Slice index 67; Head; Image covers 240 mm x 240 mm; Axial slice
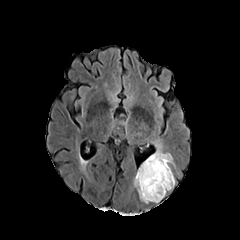
FLAIR MRI.
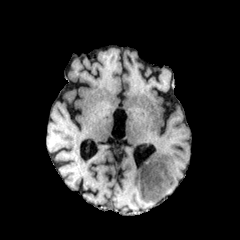
T1-weighted MRI.
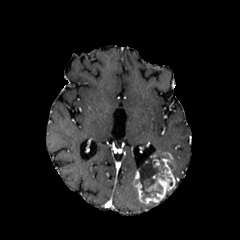
Same slice, post-contrast T1-weighted MRI.
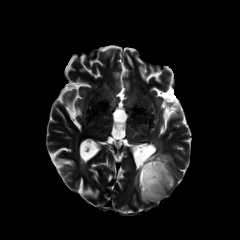
T2-weighted MR image.
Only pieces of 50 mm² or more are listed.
The largest enhancing tumor region is at x1=133, y1=152, x2=175, y2=203. The largest peritumoral edema region is at x1=155, y1=139, x2=162, y2=156. The largest necrotic tumor core region is bounded by x1=139, y1=160, x2=161, y2=199.